FLAIR MRI.
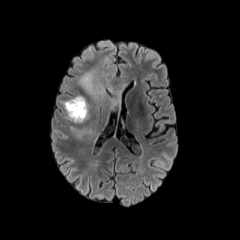
T1-weighted MRI.
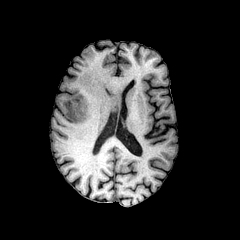
Post-contrast T1-weighted magnetic resonance.
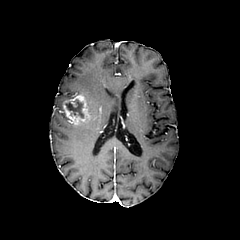
T2-weighted MR image.
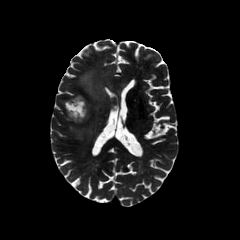
Axial slice.
peritumoral edema: rect(102, 58, 107, 80); rect(108, 88, 120, 108); rect(70, 127, 86, 137); rect(79, 70, 106, 99)
enhancing tumor: rect(63, 94, 90, 124)
necrotic tumor core: rect(66, 100, 83, 117)